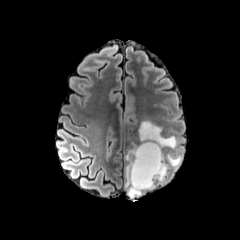
FLAIR MR image.
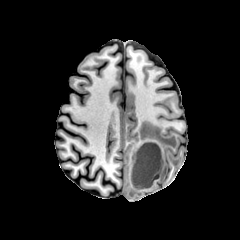
T1-weighted MR image.
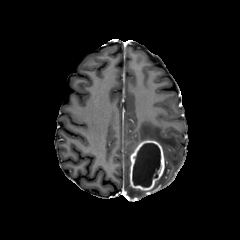
Post-contrast T1-weighted MR image.
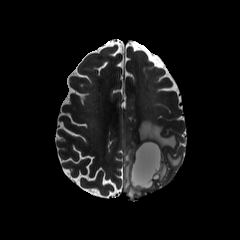
T2-weighted MR image of the same slice.
Brain, Axial plane, 240x240 px
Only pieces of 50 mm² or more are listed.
enhancing tumor at x1=129, y1=140, x2=164, y2=192
necrotic tumor core at x1=132, y1=143, x2=160, y2=187
peritumoral edema at x1=138, y1=121, x2=181, y2=183; x1=125, y1=142, x2=145, y2=198